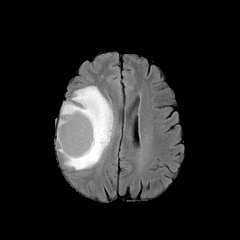
FLAIR MR image.
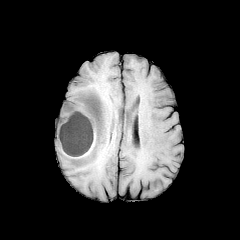
T1-weighted magnetic resonance of the same slice.
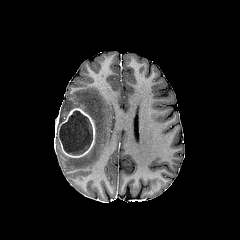
Post-contrast T1-weighted MR.
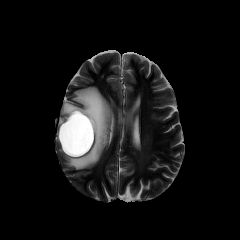
T2-weighted MR image.
Head
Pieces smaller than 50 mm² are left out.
Findings:
• necrotic tumor core: x1=59, y1=111, x2=92, y2=155
• enhancing tumor: x1=57, y1=108, x2=95, y2=157
• peritumoral edema: x1=57, y1=86, x2=112, y2=169